FLAIR MRI.
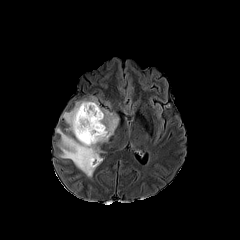
T1-weighted MR.
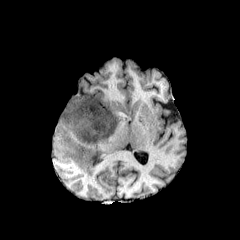
Post-contrast T1-weighted MR image.
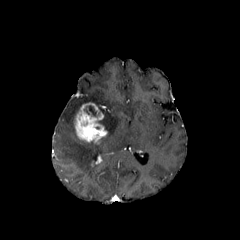
T2-weighted magnetic resonance.
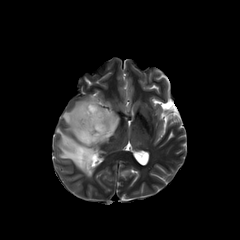
Head; Axial view
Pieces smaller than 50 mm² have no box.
enhancing tumor: 74:102:107:143
necrotic tumor core: 88:106:96:116
peritumoral edema: 56:96:119:177